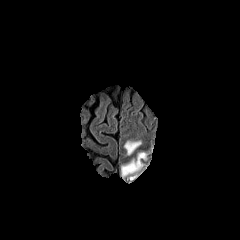
FLAIR magnetic resonance.
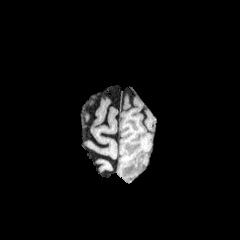
T1-weighted MR of the same slice.
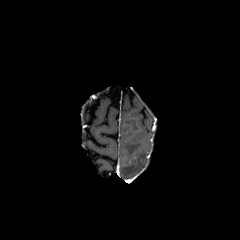
Same slice, post-contrast T1-weighted magnetic resonance.
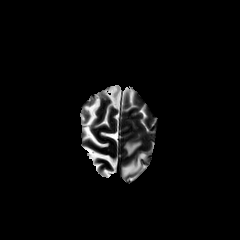
T2-weighted MR.
Brain | Axial plane
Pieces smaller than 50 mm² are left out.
The 2 largest peritumoral edema regions appear at [x1=121, y1=152, x2=146, y2=177], [x1=124, y1=141, x2=141, y2=155].